FLAIR MR.
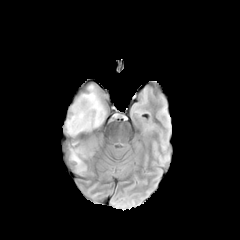
T1-weighted MR.
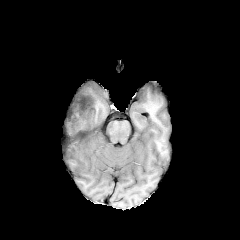
Post-contrast T1-weighted magnetic resonance.
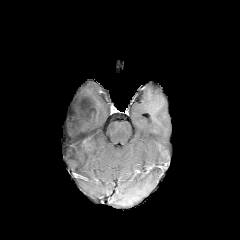
T2-weighted magnetic resonance.
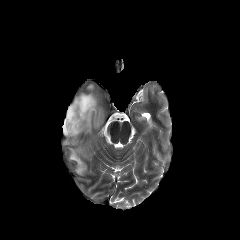
Image size 240x240
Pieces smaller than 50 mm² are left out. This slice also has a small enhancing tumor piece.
peritumoral edema at (left=69, top=140, right=92, bottom=174), (left=63, top=82, right=108, bottom=138)